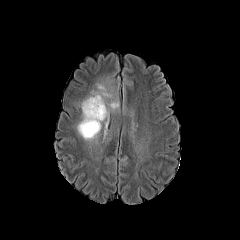
FLAIR magnetic resonance.
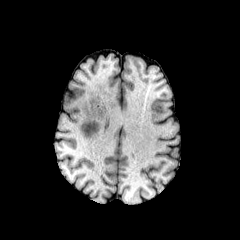
T1-weighted MR.
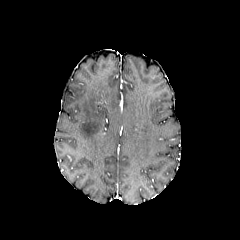
Post-contrast T1-weighted MR image.
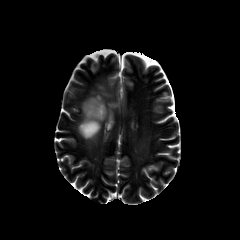
Same slice, T2-weighted MR image.
Axial slice, Head
The peritumoral edema is bounded by <box>77,73,119,140</box>.